Slice index 62 | Axial slice
FLAIR MRI.
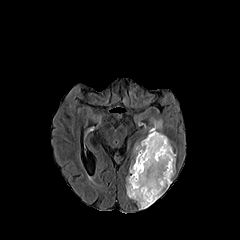
T1-weighted magnetic resonance.
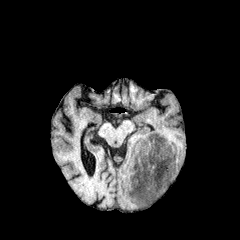
Post-contrast T1-weighted MRI.
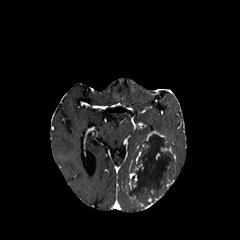
T2-weighted magnetic resonance.
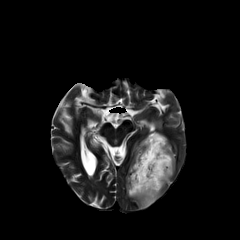
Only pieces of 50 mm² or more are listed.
{"peritumoral_edema": ["x1=149, y1=120, x2=162, y2=132"], "enhancing_tumor": ["x1=128, y1=195, x2=153, y2=209", "x1=143, y1=130, x2=167, y2=144", "x1=128, y1=172, x2=137, y2=189", "x1=160, y1=146, x2=175, y2=161"], "necrotic_tumor_core": ["x1=127, y1=134, x2=175, y2=207"]}